FLAIR MRI.
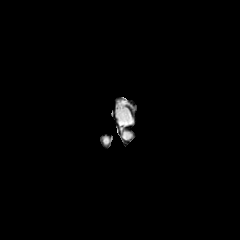
T1-weighted magnetic resonance.
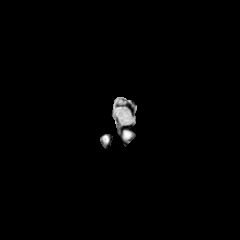
Post-contrast T1-weighted MR image.
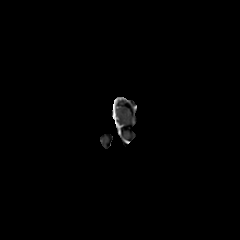
T2-weighted MR.
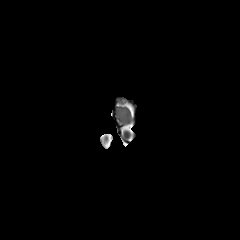
240x240 px; Brain
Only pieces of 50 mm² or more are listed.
Findings:
* peritumoral edema: rect(118, 108, 131, 124)